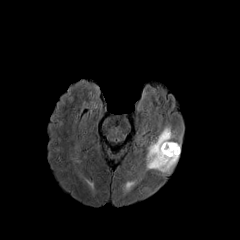
FLAIR MRI.
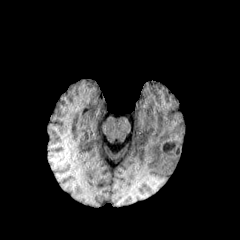
T1-weighted MRI.
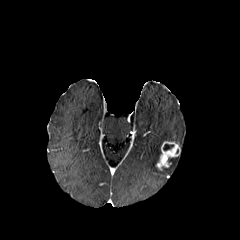
Post-contrast T1-weighted MR.
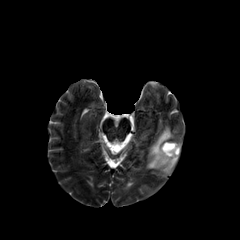
T2-weighted MR image of the same slice.
240x240. Brain.
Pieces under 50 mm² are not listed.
The 2 largest peritumoral edema regions appear at [x1=146, y1=126, x2=174, y2=169], [x1=161, y1=157, x2=178, y2=173]. The largest necrotic tumor core region lies within [x1=163, y1=143, x2=173, y2=151]. The enhancing tumor appears at [x1=156, y1=141, x2=180, y2=170].